240x240 px | Axial slice | Head | Slice index 81
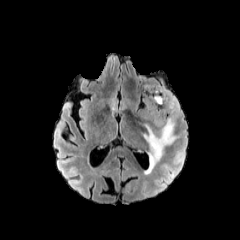
FLAIR MRI.
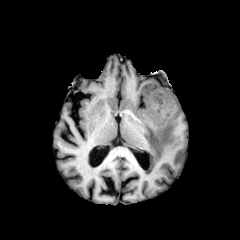
Same slice, T1-weighted MRI.
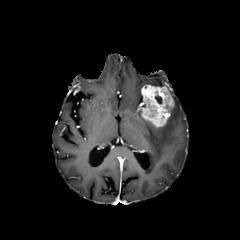
Same slice, post-contrast T1-weighted MRI.
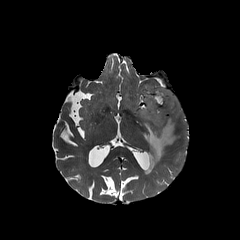
T2-weighted magnetic resonance.
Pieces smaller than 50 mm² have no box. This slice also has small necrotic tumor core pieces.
The enhancing tumor appears at (141, 85, 173, 127). The largest peritumoral edema region lies within (143, 95, 179, 173).